Head. Image size 240x240. Slice index 88.
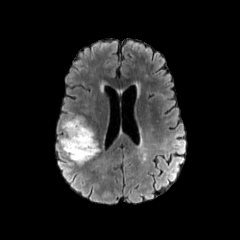
FLAIR MRI.
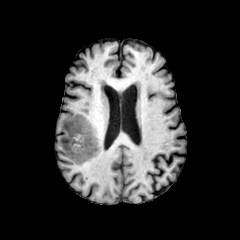
T1-weighted MRI of the same slice.
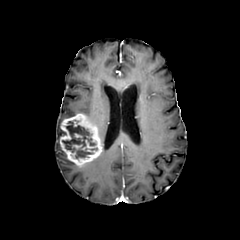
Post-contrast T1-weighted magnetic resonance of the same slice.
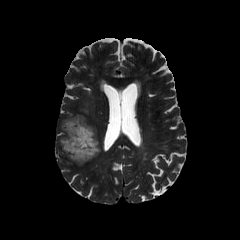
Same slice, T2-weighted magnetic resonance.
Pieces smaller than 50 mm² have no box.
{
  "enhancing_tumor": [
    "bbox=[60, 114, 101, 166]"
  ],
  "necrotic_tumor_core": [
    "bbox=[62, 121, 95, 158]"
  ]
}